FLAIR MR.
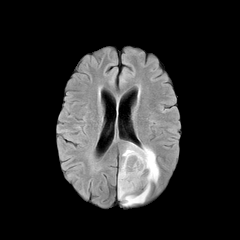
T1-weighted MR.
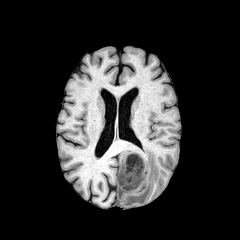
Post-contrast T1-weighted magnetic resonance.
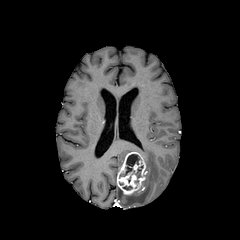
T2-weighted MR image.
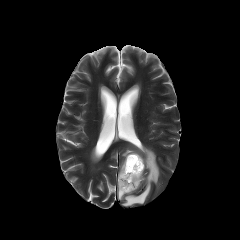
Image size 240x240. Axial plane.
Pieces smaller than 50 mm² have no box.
The 2 largest necrotic tumor core regions are bounded by box=[136, 165, 143, 178]; box=[120, 154, 140, 176]. The enhancing tumor lies within box=[117, 152, 145, 194]. The largest peritumoral edema region is bounded by box=[118, 143, 159, 205].